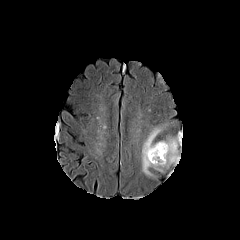
FLAIR MR image.
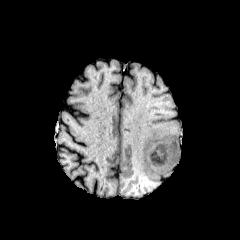
Same slice, T1-weighted magnetic resonance.
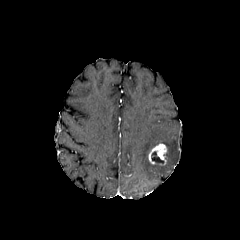
Post-contrast T1-weighted MR.
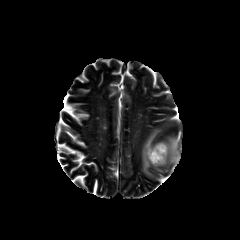
T2-weighted MRI.
Brain
Segmented structures:
• enhancing tumor: x1=148 y1=143 x2=167 y2=165
• peritumoral edema: x1=141 y1=127 x2=182 y2=176
• necrotic tumor core: x1=151 y1=152 x2=163 y2=163